FLAIR MR.
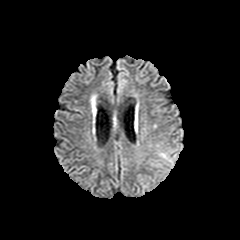
T1-weighted MR.
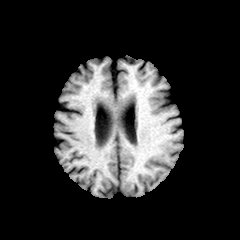
Post-contrast T1-weighted MR image.
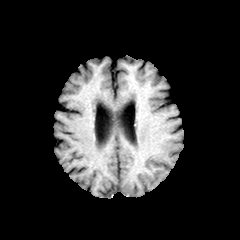
T2-weighted magnetic resonance.
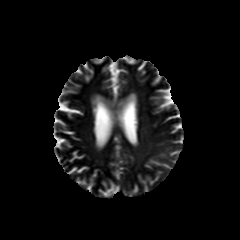
Axial slice
peritumoral edema at 159:153:172:163